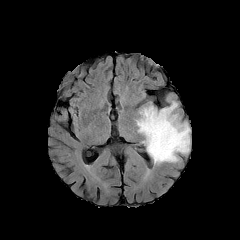
FLAIR magnetic resonance.
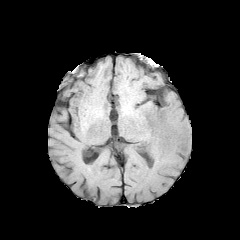
T1-weighted MR image.
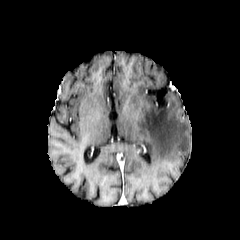
Post-contrast T1-weighted MRI of the same slice.
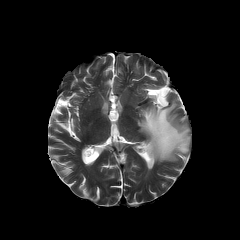
Same slice, T2-weighted magnetic resonance.
Axial slice
Annotated regions:
* peritumoral edema: x1=136, y1=101, x2=190, y2=163